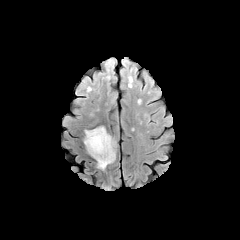
FLAIR MRI.
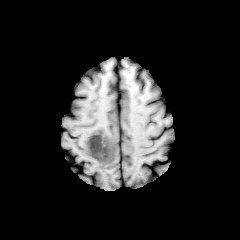
T1-weighted magnetic resonance.
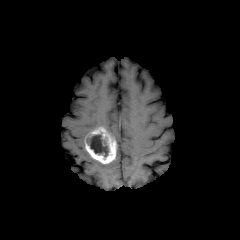
Post-contrast T1-weighted MR.
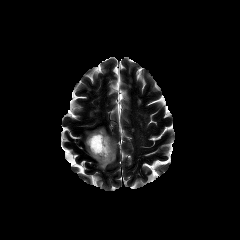
Same slice, T2-weighted MR image.
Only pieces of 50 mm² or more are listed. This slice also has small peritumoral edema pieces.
<segmentation>
  <necrotic_tumor_core>bbox=[86, 134, 108, 156]</necrotic_tumor_core>
  <enhancing_tumor>bbox=[85, 127, 116, 163]</enhancing_tumor>
</segmentation>